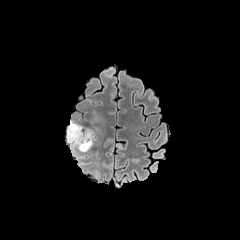
FLAIR magnetic resonance.
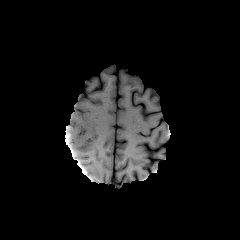
T1-weighted MRI.
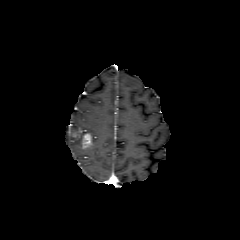
Post-contrast T1-weighted MR image.
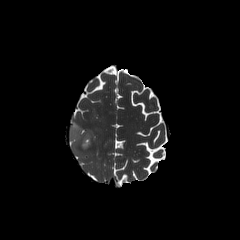
T2-weighted magnetic resonance.
240x240 px. Brain.
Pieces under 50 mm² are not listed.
Annotated regions:
- peritumoral edema: 67,120,94,151
- enhancing tumor: 82,133,92,148